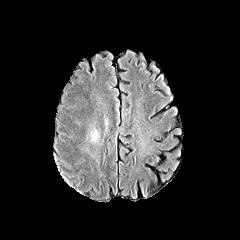
FLAIR MR image.
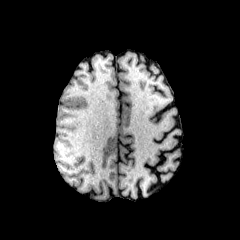
T1-weighted MRI of the same slice.
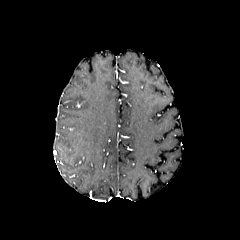
Same slice, post-contrast T1-weighted MR.
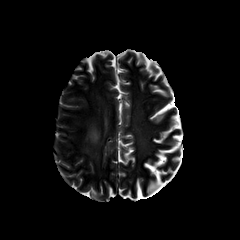
T2-weighted MR.
240x240 px; Axial plane
Annotated regions:
• peritumoral edema: [91,130,97,140]